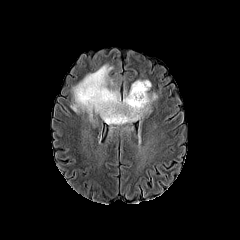
FLAIR MR.
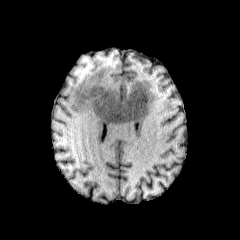
T1-weighted magnetic resonance.
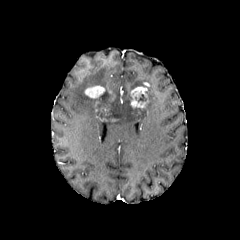
Post-contrast T1-weighted MR image of the same slice.
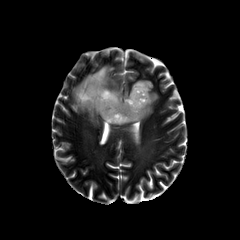
T2-weighted magnetic resonance.
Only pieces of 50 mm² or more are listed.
The 2 largest peritumoral edema regions appear at bbox(103, 80, 157, 125); bbox(71, 65, 130, 121). The largest necrotic tumor core region lies within bbox(93, 92, 140, 121). The 2 largest enhancing tumor regions are bounded by bbox(130, 86, 149, 108); bbox(84, 85, 105, 98).